Slice 62/155; Head
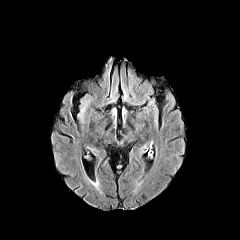
FLAIR MR image.
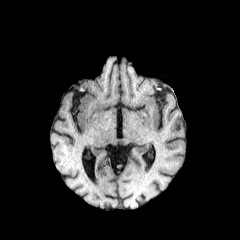
T1-weighted MR image.
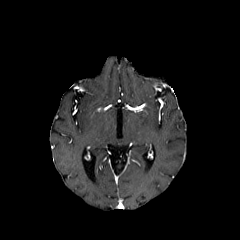
Same slice, post-contrast T1-weighted MR.
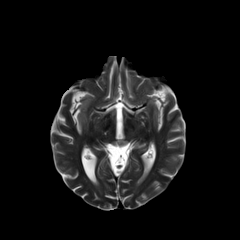
Same slice, T2-weighted MRI.
{"peritumoral_edema": ["region(78, 98, 88, 120)"]}